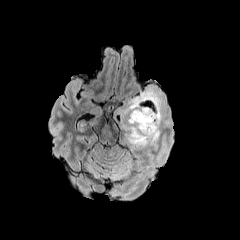
FLAIR MR.
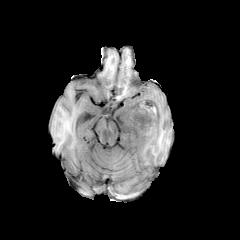
T1-weighted MRI of the same slice.
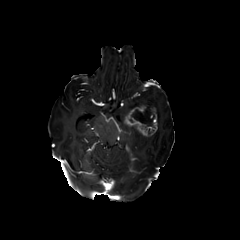
Post-contrast T1-weighted MR.
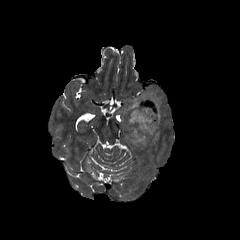
T2-weighted MR of the same slice.
Axial slice; Image size 240x240
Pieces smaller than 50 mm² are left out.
enhancing tumor: bounding box rect(123, 105, 157, 136)
necrotic tumor core: bounding box rect(132, 108, 154, 126)
peritumoral edema: bounding box rect(120, 90, 161, 147)